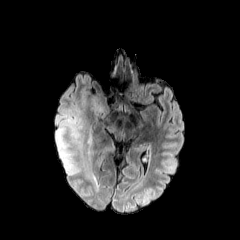
FLAIR MRI.
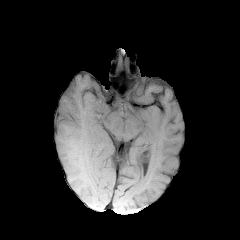
T1-weighted MR image.
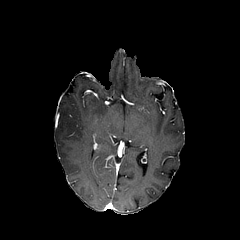
Same slice, post-contrast T1-weighted MR.
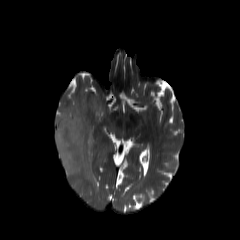
T2-weighted MRI.
Image size 240x240; Head; Axial slice
peritumoral edema = (55,107,99,190), (86,97,107,115)